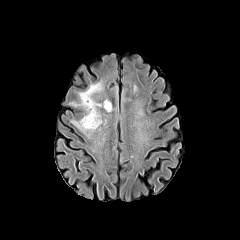
FLAIR MR.
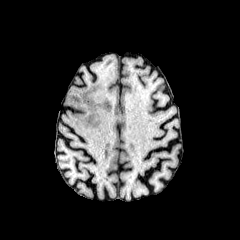
T1-weighted MR.
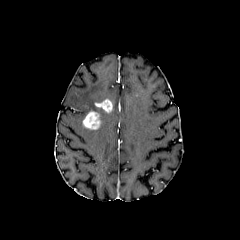
Post-contrast T1-weighted MR.
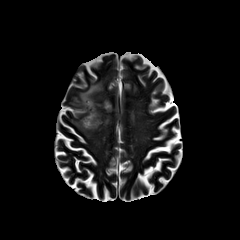
Same slice, T2-weighted MR.
Brain. Axial view.
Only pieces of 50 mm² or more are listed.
{"enhancing_tumor": ["x1=82, y1=110, x2=101, y2=129", "x1=94, y1=99, x2=112, y2=112"], "peritumoral_edema": ["x1=71, y1=82, x2=103, y2=123", "x1=71, y1=116, x2=96, y2=136"]}